FLAIR MRI.
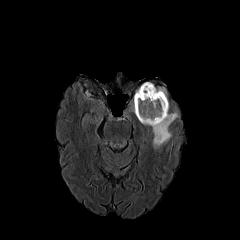
T1-weighted magnetic resonance.
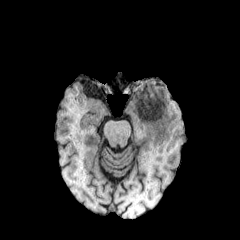
Post-contrast T1-weighted magnetic resonance.
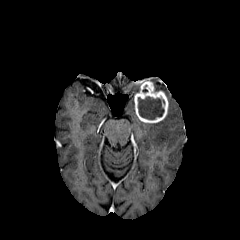
T2-weighted magnetic resonance.
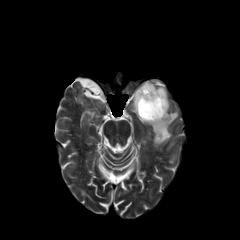
240x240
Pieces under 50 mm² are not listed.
Annotated regions:
- peritumoral edema: 141, 110, 178, 147
- necrotic tumor core: 138, 97, 164, 119
- enhancing tumor: 134, 81, 168, 123